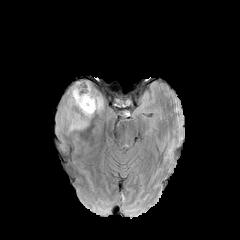
FLAIR MR image.
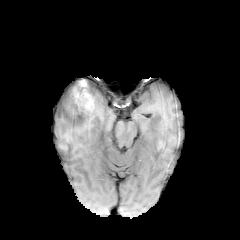
T1-weighted MR image.
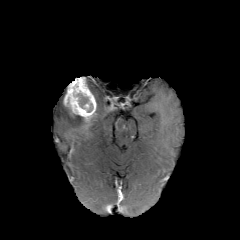
Post-contrast T1-weighted MR.
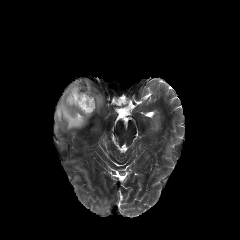
Same slice, T2-weighted MRI.
240x240
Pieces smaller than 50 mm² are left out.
peritumoral edema at l=94, t=95, r=103, b=110; l=57, t=104, r=87, b=130
enhancing tumor at l=63, t=80, r=96, b=121
necrotic tumor core at l=77, t=93, r=88, b=108